FLAIR MR.
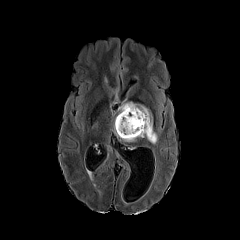
T1-weighted MRI.
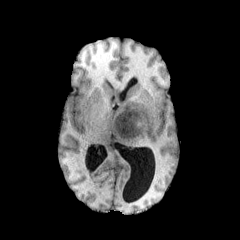
Post-contrast T1-weighted MR.
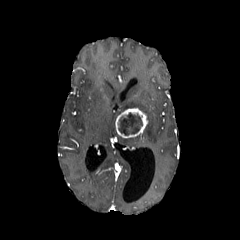
T2-weighted magnetic resonance.
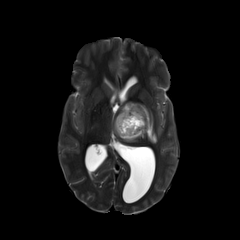
Axial slice
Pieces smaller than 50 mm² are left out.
necrotic_tumor_core:
  - l=118, t=112, r=142, b=135
enhancing_tumor:
  - l=115, t=108, r=148, b=138
peritumoral_edema:
  - l=120, t=137, r=136, b=142
  - l=118, t=102, r=157, b=143